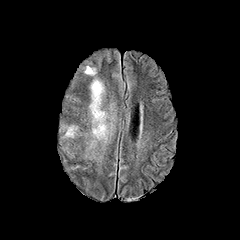
FLAIR MR.
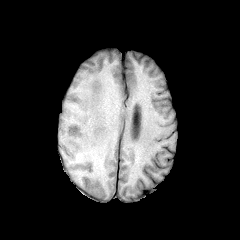
T1-weighted MR.
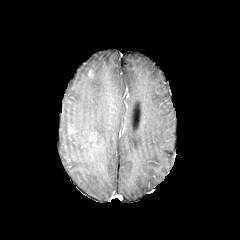
Same slice, post-contrast T1-weighted MRI.
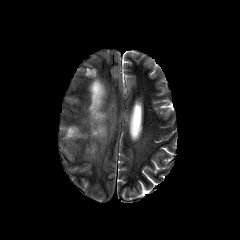
Same slice, T2-weighted MRI.
Axial view; Image size 240x240
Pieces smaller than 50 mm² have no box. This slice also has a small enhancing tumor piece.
3 peritumoral edema regions appear at box(65, 125, 76, 137); box(90, 79, 106, 139); box(85, 66, 95, 74).